Image width 240 mm, 1.00 mm slice spacing. Axial view. Slice 110/155. Head.
FLAIR magnetic resonance.
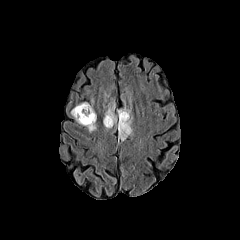
T1-weighted MRI.
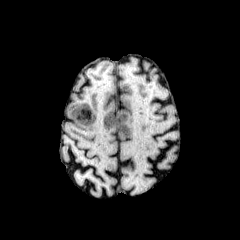
Post-contrast T1-weighted MR image.
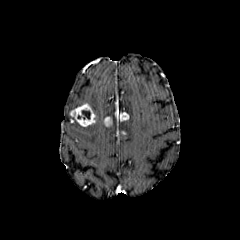
T2-weighted MR image.
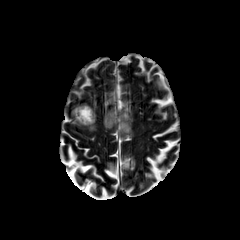
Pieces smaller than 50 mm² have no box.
Segmented structures:
* peritumoral edema: (x1=118, y1=109, x2=132, y2=141), (x1=105, y1=105, x2=116, y2=126), (x1=85, y1=123, x2=96, y2=132)
* enhancing tumor: (x1=70, y1=103, x2=95, y2=126), (x1=103, y1=116, x2=112, y2=126), (x1=115, y1=111, x2=129, y2=125)
* necrotic tumor core: (x1=82, y1=110, x2=90, y2=119)